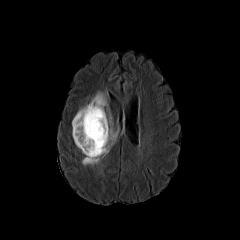
FLAIR MR.
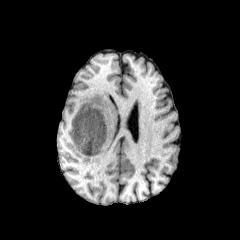
T1-weighted MR image of the same slice.
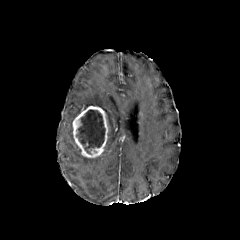
Post-contrast T1-weighted MRI of the same slice.
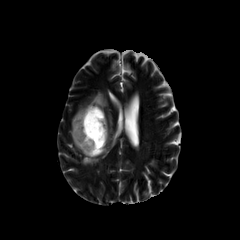
T2-weighted MR of the same slice.
Brain; Axial view; 240x240 px
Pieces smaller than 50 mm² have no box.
Findings:
* enhancing tumor: rect(72, 106, 108, 157)
* necrotic tumor core: rect(77, 110, 105, 152)
* peritumoral edema: rect(84, 91, 108, 110); rect(82, 113, 116, 165)